240x240, Axial plane, Head, Slice 77/155, Image covers 240 mm x 240 mm
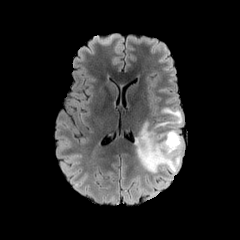
FLAIR MRI.
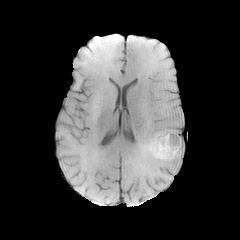
Same slice, T1-weighted MRI.
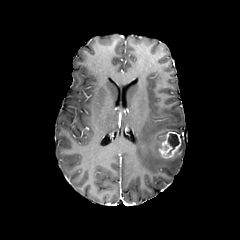
Post-contrast T1-weighted MRI of the same slice.
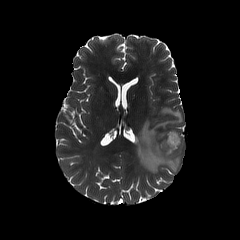
Same slice, T2-weighted MRI.
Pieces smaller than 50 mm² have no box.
The enhancing tumor appears at region(158, 131, 181, 158). The peritumoral edema lies within region(134, 107, 183, 180). The largest necrotic tumor core region is at region(168, 134, 179, 149).